FLAIR magnetic resonance.
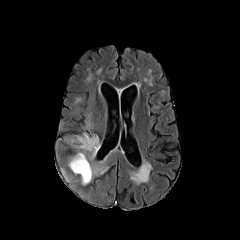
T1-weighted MR.
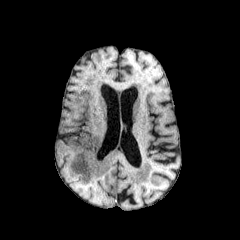
Post-contrast T1-weighted magnetic resonance.
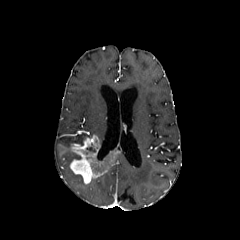
T2-weighted MR image.
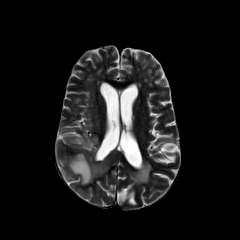
Axial slice.
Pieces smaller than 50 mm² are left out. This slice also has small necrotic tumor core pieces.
Findings:
* peritumoral edema: x1=82 y1=120 x2=93 y2=130, x1=68 y1=155 x2=77 y2=167, x1=68 y1=134 x2=89 y2=144
* enhancing tumor: x1=56 y1=135 x2=121 y2=183